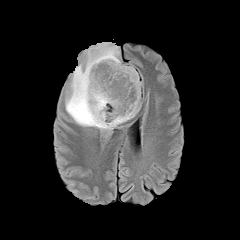
FLAIR MR.
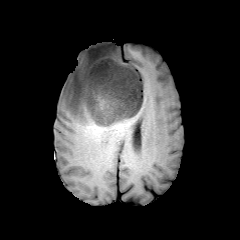
T1-weighted magnetic resonance.
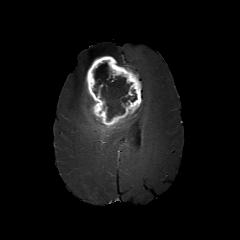
Same slice, post-contrast T1-weighted MR image.
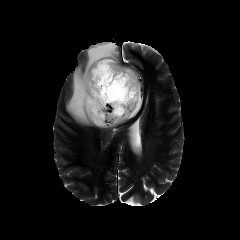
T2-weighted MR image.
Image size 240x240 | Brain | Axial view
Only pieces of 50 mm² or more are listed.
enhancing tumor: x1=85 y1=56 x2=141 y2=127 | necrotic tumor core: x1=94 y1=62 x2=136 y2=120 | peritumoral edema: x1=65 y1=42 x2=127 y2=130